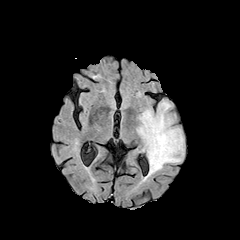
FLAIR magnetic resonance.
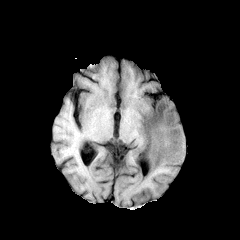
T1-weighted MR image.
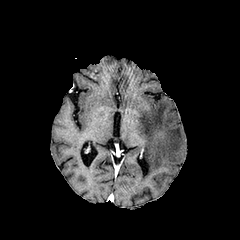
Post-contrast T1-weighted MR image of the same slice.
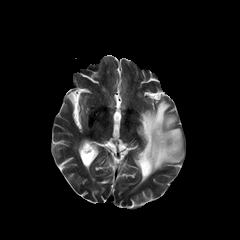
T2-weighted MR of the same slice.
Image size 240x240
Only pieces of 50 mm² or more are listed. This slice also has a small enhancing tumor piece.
peritumoral edema = box=[137, 100, 184, 180]